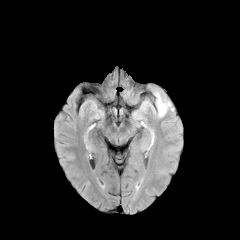
FLAIR MR image.
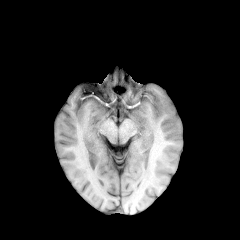
Same slice, T1-weighted MRI.
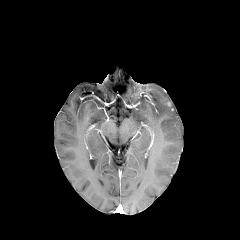
Post-contrast T1-weighted MRI.
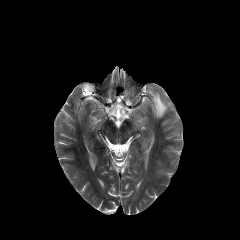
T2-weighted MR.
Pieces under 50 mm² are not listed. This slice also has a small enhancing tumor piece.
peritumoral edema: bbox=[134, 112, 142, 119]; bbox=[140, 90, 173, 117]